240x240; Brain
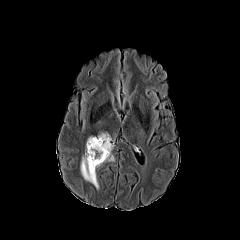
FLAIR magnetic resonance.
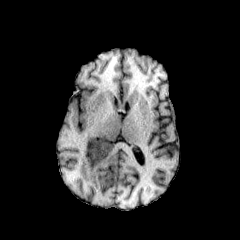
T1-weighted magnetic resonance.
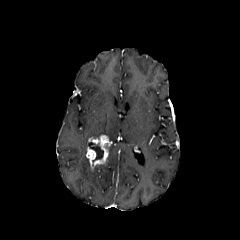
Post-contrast T1-weighted MRI.
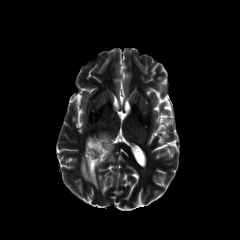
T2-weighted MRI.
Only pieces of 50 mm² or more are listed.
<segmentation>
  <necrotic_tumor_core>88:142:103:161</necrotic_tumor_core>
  <enhancing_tumor>86:134:110:170</enhancing_tumor>
  <peritumoral_edema>80:153:101:189, 107:144:114:161</peritumoral_edema>
</segmentation>